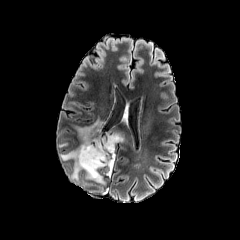
FLAIR magnetic resonance.
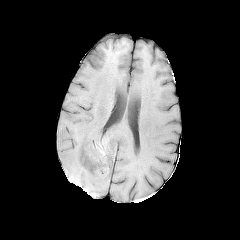
T1-weighted MRI of the same slice.
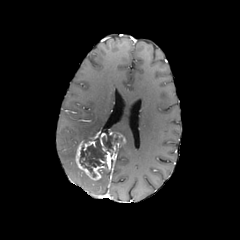
Post-contrast T1-weighted MR image.
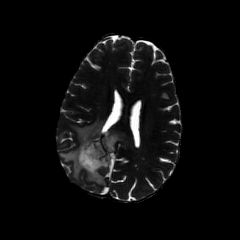
T2-weighted magnetic resonance.
240x240 px | Axial plane | Head
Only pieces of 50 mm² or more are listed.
Findings:
- peritumoral edema: x1=76, y1=116, x2=104, y2=141; x1=60, y1=148, x2=81, y2=180
- enhancing tumor: x1=75, y1=130, x2=124, y2=180
- necrotic tumor core: x1=102, y1=134, x2=113, y2=152; x1=79, y1=134, x2=107, y2=177